FLAIR MR.
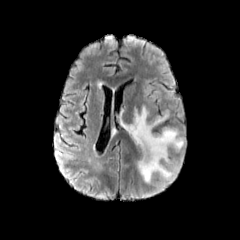
T1-weighted magnetic resonance.
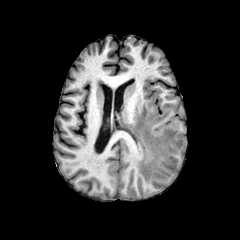
Post-contrast T1-weighted MRI.
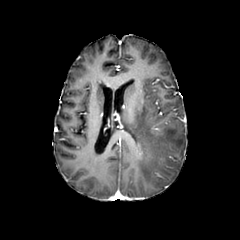
T2-weighted magnetic resonance.
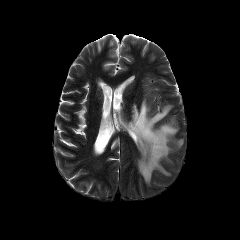
Axial slice; Head
<segmentation>
  <peritumoral_edema>bbox(128, 104, 183, 183)</peritumoral_edema>
</segmentation>